FLAIR MR image.
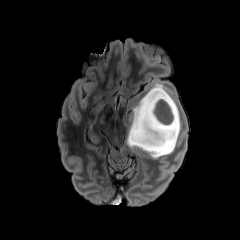
T1-weighted MR.
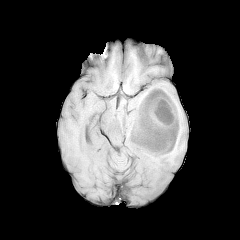
Post-contrast T1-weighted MR image.
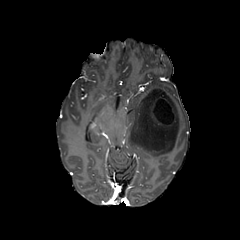
T2-weighted MR.
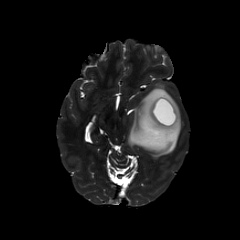
Axial view | Head | Image size 240x240
Findings:
• enhancing tumor: {"x1": 150, "y1": 96, "x2": 176, "y2": 126}
• necrotic tumor core: {"x1": 154, "y1": 99, "x2": 173, "y2": 123}
• peritumoral edema: {"x1": 127, "y1": 84, "x2": 181, "y2": 158}